240x240. Image covers 240 mm x 240 mm. Axial slice.
FLAIR MR image.
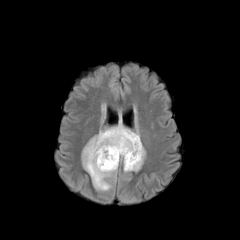
T1-weighted MRI.
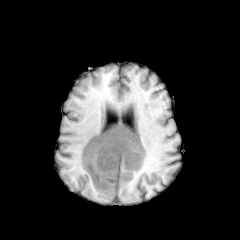
Post-contrast T1-weighted MR image.
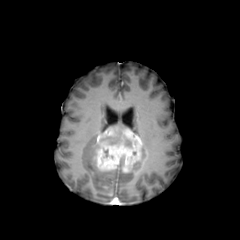
T2-weighted MR.
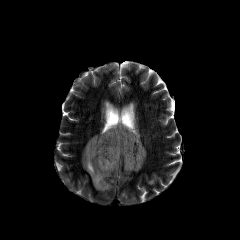
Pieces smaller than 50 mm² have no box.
Segmented structures:
• peritumoral edema: 130 144 145 171, 111 115 127 128, 82 130 117 191
• enhancing tumor: 95 127 141 172
• necrotic tumor core: 101 131 121 144